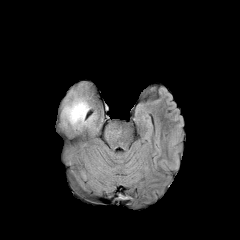
FLAIR MR image.
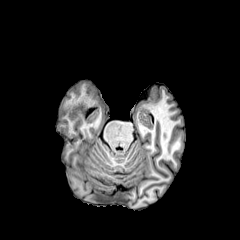
Same slice, T1-weighted MR.
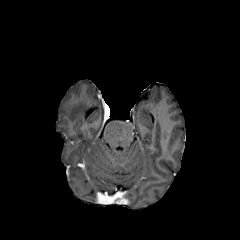
Post-contrast T1-weighted magnetic resonance.
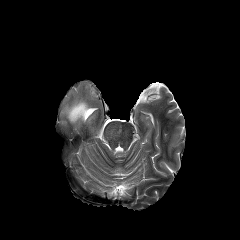
T2-weighted MRI.
Head
peritumoral edema — rect(62, 97, 94, 126)